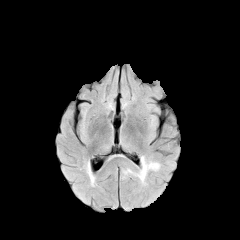
FLAIR magnetic resonance.
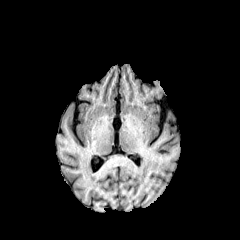
T1-weighted MR image.
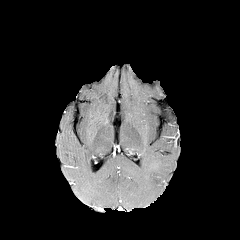
Same slice, post-contrast T1-weighted MR image.
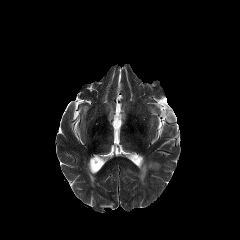
T2-weighted MR.
• peritumoral edema: 124 156 160 184